FLAIR MR image.
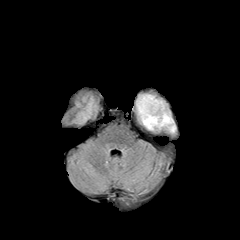
T1-weighted MR.
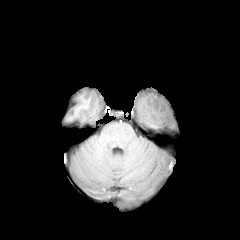
Post-contrast T1-weighted MR image.
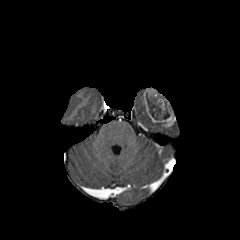
T2-weighted MRI.
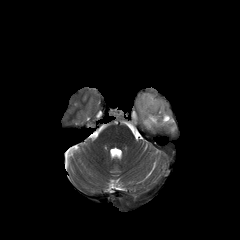
Brain
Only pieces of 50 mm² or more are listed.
necrotic_tumor_core:
  - rect(146, 93, 169, 119)
enhancing_tumor:
  - rect(141, 88, 175, 127)
peritumoral_edema:
  - rect(136, 94, 162, 129)
  - rect(166, 123, 175, 132)